Axial plane, Slice 83 of 155, Brain
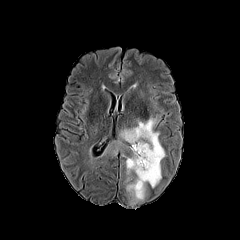
FLAIR MR image.
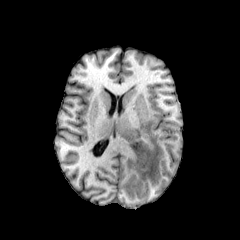
T1-weighted magnetic resonance.
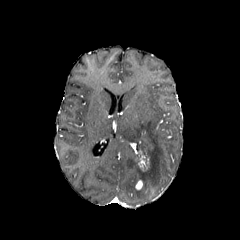
Same slice, post-contrast T1-weighted MRI.
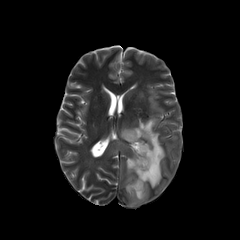
T2-weighted magnetic resonance.
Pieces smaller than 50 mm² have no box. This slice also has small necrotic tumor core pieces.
peritumoral_edema:
  - rect(102, 114, 165, 204)
enhancing_tumor:
  - rect(130, 143, 150, 171)
  - rect(135, 180, 142, 189)